Brain, Image width 240 mm, 240x240, Axial slice
FLAIR MRI.
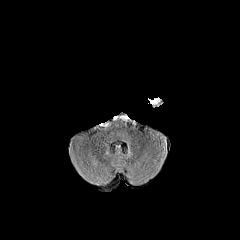
T1-weighted magnetic resonance.
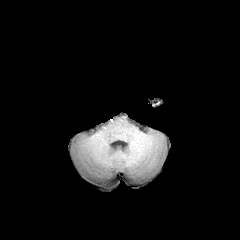
Post-contrast T1-weighted MR image.
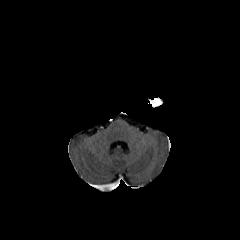
T2-weighted MRI.
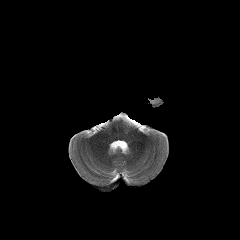
enhancing_tumor:
  - box=[149, 97, 161, 106]